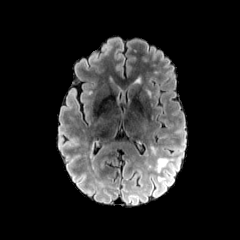
FLAIR MRI.
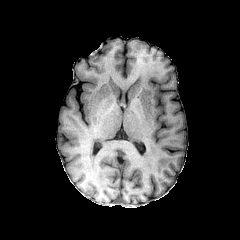
T1-weighted MR image.
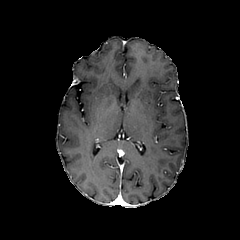
Post-contrast T1-weighted MR image.
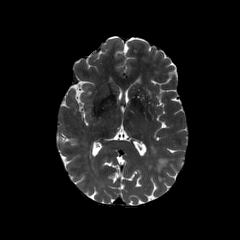
T2-weighted magnetic resonance.
Head | 240x240
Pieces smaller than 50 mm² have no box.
<segmentation>
  <peritumoral_edema>158, 158, 169, 170</peritumoral_edema>
</segmentation>